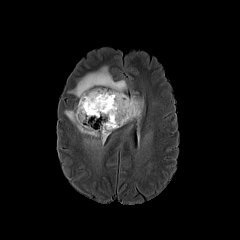
FLAIR MR image.
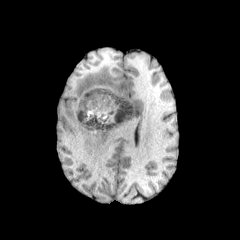
T1-weighted MRI.
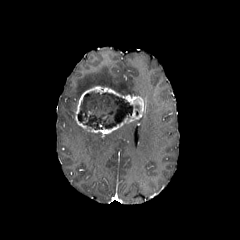
Post-contrast T1-weighted MR image.
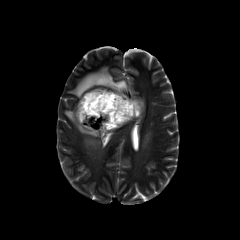
Same slice, T2-weighted MRI.
Image size 240x240; Axial slice
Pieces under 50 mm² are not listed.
The largest necrotic tumor core region is located at (left=78, top=92, right=133, bottom=129). The largest enhancing tumor region lies within (left=75, top=86, right=144, bottom=133). The 2 largest peritumoral edema regions are bounded by (left=64, top=106, right=109, bottom=145), (left=69, top=66, right=127, bottom=98).